240x240, Slice 84 of 155, Head, Image width 240 mm, 1.00 mm slice spacing
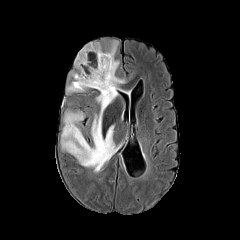
FLAIR MRI.
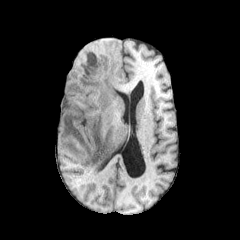
Same slice, T1-weighted MR image.
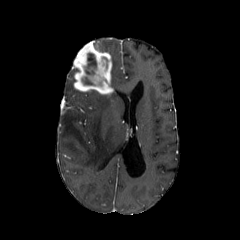
Post-contrast T1-weighted MR image.
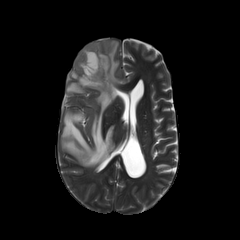
T2-weighted magnetic resonance.
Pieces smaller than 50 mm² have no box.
peritumoral_edema:
  - bbox(61, 41, 124, 167)
  - bbox(66, 81, 79, 93)
necrotic_tumor_core:
  - bbox(85, 53, 96, 74)
enhancing_tumor:
  - bbox(73, 41, 114, 94)